FLAIR MR image.
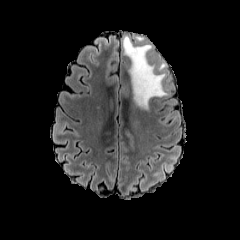
T1-weighted MRI.
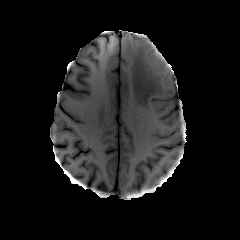
Post-contrast T1-weighted magnetic resonance.
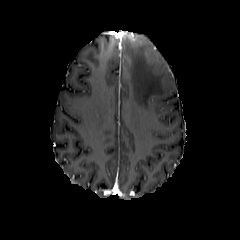
T2-weighted MR.
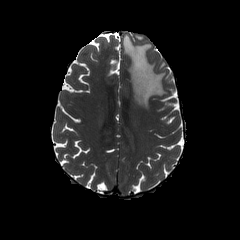
Head | Axial view
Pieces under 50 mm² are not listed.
The largest peritumoral edema region is bounded by [x1=122, y1=34, x2=168, y2=109].